Image width 240 mm, 1.00 mm slice spacing | Brain | Axial plane
FLAIR magnetic resonance.
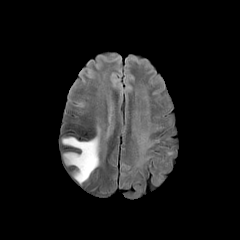
T1-weighted MR.
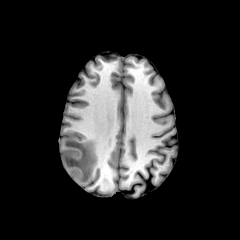
Post-contrast T1-weighted MRI.
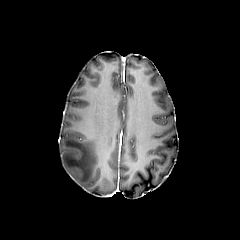
T2-weighted MRI.
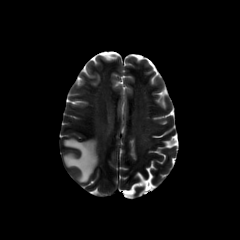
The peritumoral edema lies within left=62, top=127, right=100, bottom=183.